FLAIR MR image.
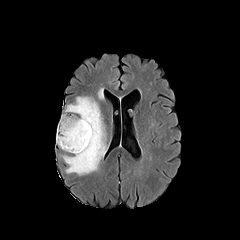
T1-weighted MR image.
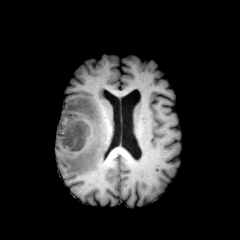
Post-contrast T1-weighted MRI.
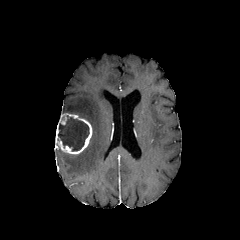
T2-weighted magnetic resonance.
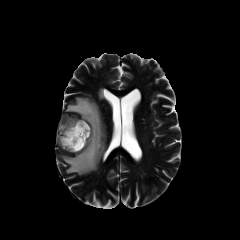
240x240 px; Axial slice
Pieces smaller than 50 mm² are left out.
The largest peritumoral edema region is bounded by rect(61, 96, 107, 175). The enhancing tumor is at rect(55, 113, 92, 154). The necrotic tumor core is located at rect(58, 116, 88, 150).